FLAIR MR.
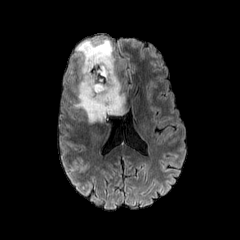
T1-weighted MRI.
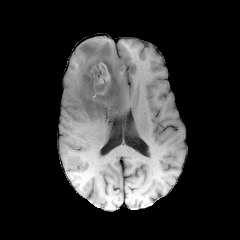
Post-contrast T1-weighted MR.
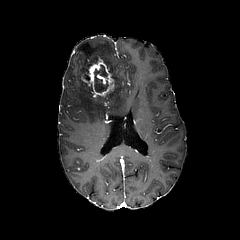
T2-weighted MR.
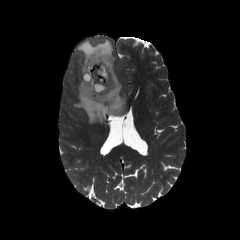
Head
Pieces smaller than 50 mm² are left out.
enhancing tumor — rect(82, 58, 115, 97)
necrotic tumor core — rect(94, 65, 108, 92)
peritumoral edema — rect(72, 39, 125, 123)